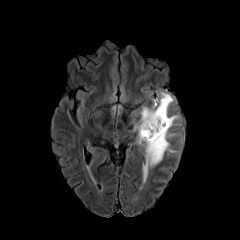
FLAIR MR.
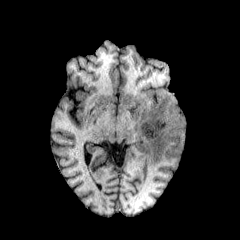
T1-weighted MR image.
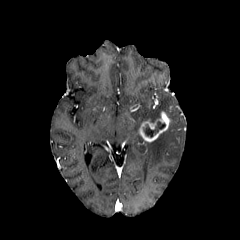
Same slice, post-contrast T1-weighted magnetic resonance.
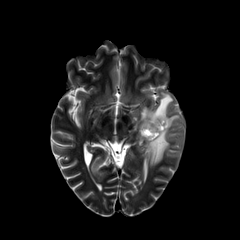
T2-weighted MRI of the same slice.
Head, Axial plane
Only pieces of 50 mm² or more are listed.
<segmentation>
  <necrotic_tumor_core>rect(143, 121, 165, 137)</necrotic_tumor_core>
  <enhancing_tumor>rect(139, 111, 170, 142)</enhancing_tumor>
  <peritumoral_edema>rect(133, 91, 175, 182); rect(168, 115, 178, 129)</peritumoral_edema>
</segmentation>